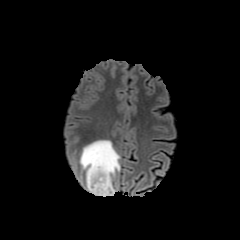
FLAIR MRI.
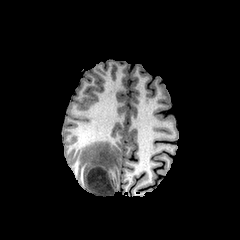
T1-weighted MRI.
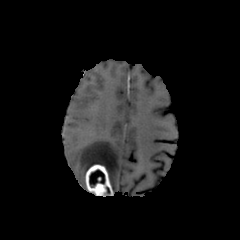
Post-contrast T1-weighted MR image.
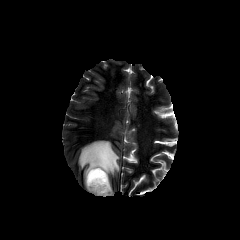
T2-weighted MRI of the same slice.
Axial plane | Head
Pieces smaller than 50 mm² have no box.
enhancing_tumor:
  - {"x1": 85, "y1": 164, "x2": 113, "y2": 196}
peritumoral_edema:
  - {"x1": 79, "y1": 140, "x2": 120, "y2": 192}
necrotic_tumor_core:
  - {"x1": 89, "y1": 170, "x2": 105, "y2": 187}